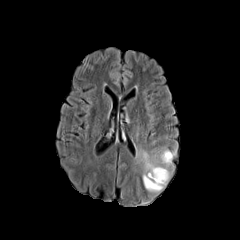
FLAIR MR.
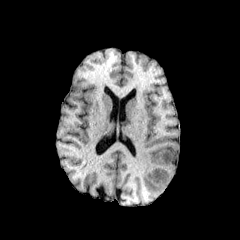
T1-weighted MRI.
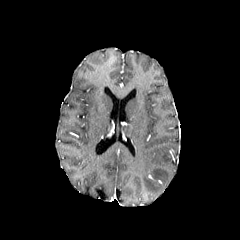
Same slice, post-contrast T1-weighted magnetic resonance.
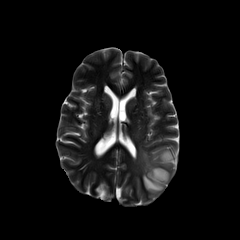
T2-weighted magnetic resonance.
240x240; Axial plane
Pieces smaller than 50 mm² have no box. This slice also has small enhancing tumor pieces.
peritumoral edema: x1=136 y1=146 x2=176 y2=193